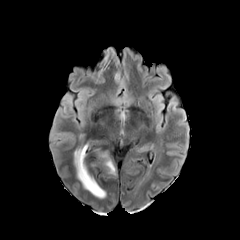
FLAIR MR.
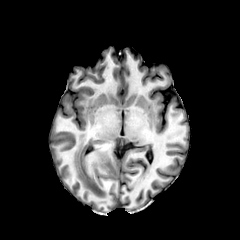
T1-weighted MRI.
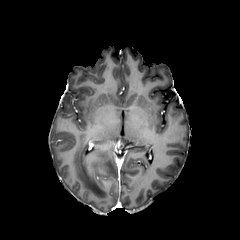
Same slice, post-contrast T1-weighted magnetic resonance.
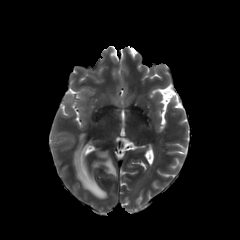
T2-weighted MR image.
Head. Axial view.
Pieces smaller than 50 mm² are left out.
Segmented structures:
* peritumoral edema: box=[99, 152, 115, 175]; box=[74, 143, 106, 198]